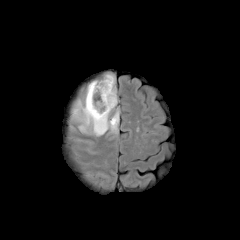
FLAIR MR image.
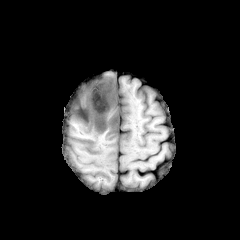
T1-weighted magnetic resonance.
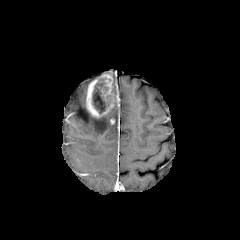
Post-contrast T1-weighted MRI of the same slice.
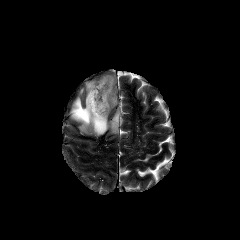
T2-weighted magnetic resonance.
Axial view. Brain. Image size 240x240.
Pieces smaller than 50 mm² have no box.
necrotic tumor core — rect(92, 91, 105, 113)
enhancing tumor — rect(86, 74, 119, 118)
peritumoral edema — rect(65, 71, 118, 136)